FLAIR MR image.
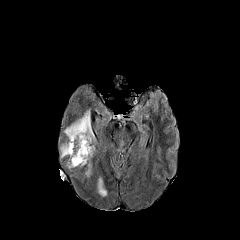
T1-weighted MRI.
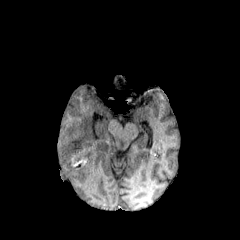
Post-contrast T1-weighted MR.
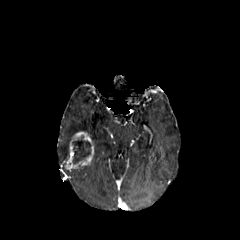
T2-weighted MR image.
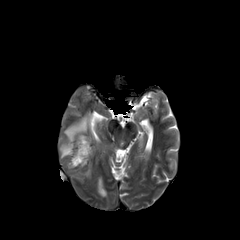
Brain
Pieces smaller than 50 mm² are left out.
{
  "necrotic_tumor_core": [
    "73 139 90 164"
  ],
  "peritumoral_edema": [
    "60 110 95 158",
    "85 163 91 177",
    "97 177 106 196"
  ],
  "enhancing_tumor": [
    "64 131 94 170"
  ]
}